Brain
FLAIR magnetic resonance.
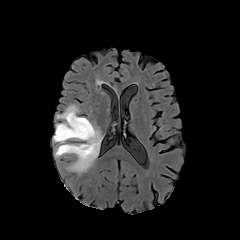
T1-weighted magnetic resonance.
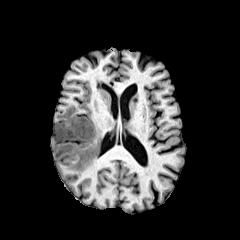
Post-contrast T1-weighted MRI.
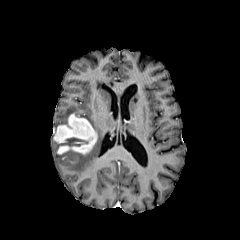
T2-weighted MR.
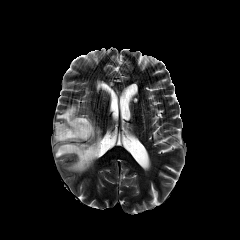
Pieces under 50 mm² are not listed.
<segmentation>
  <enhancing_tumor>rect(54, 113, 97, 154)</enhancing_tumor>
  <peritumoral_edema>rect(53, 119, 103, 173); rect(55, 104, 79, 129)</peritumoral_edema>
</segmentation>